FLAIR magnetic resonance.
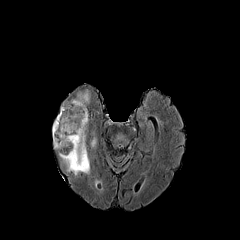
T1-weighted magnetic resonance.
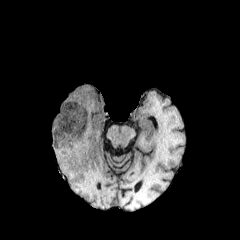
Post-contrast T1-weighted magnetic resonance.
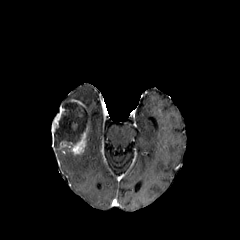
T2-weighted MR image.
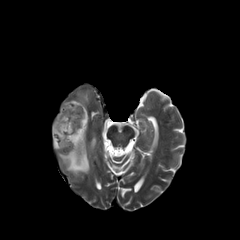
Axial plane
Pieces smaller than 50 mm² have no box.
{
  "peritumoral_edema": [
    "[76, 91, 89, 105]",
    "[59, 147, 89, 175]"
  ],
  "necrotic_tumor_core": [
    "[54, 99, 87, 148]"
  ],
  "enhancing_tumor": [
    "[57, 125, 87, 155]",
    "[52, 105, 65, 146]"
  ]
}